FLAIR MRI.
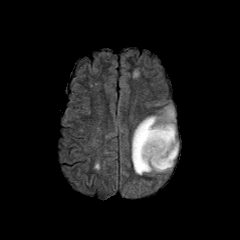
T1-weighted magnetic resonance.
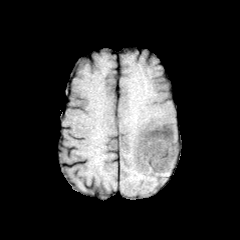
Post-contrast T1-weighted MR.
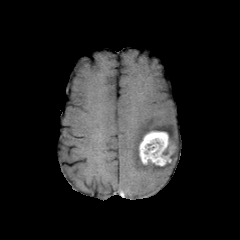
T2-weighted MR image.
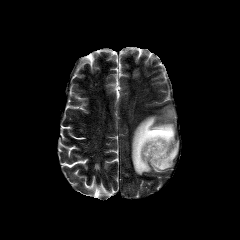
240x240
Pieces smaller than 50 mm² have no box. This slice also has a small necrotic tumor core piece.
enhancing tumor = (left=138, top=130, right=176, bottom=166)
peritumoral edema = (left=131, top=106, right=178, bottom=174)